Head, Axial view, 240x240
FLAIR magnetic resonance.
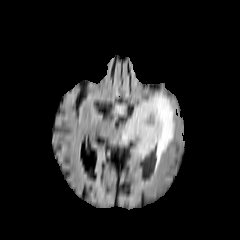
T1-weighted MR image.
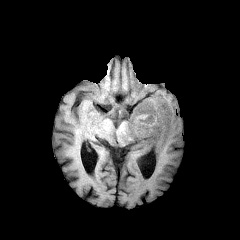
Post-contrast T1-weighted MR image.
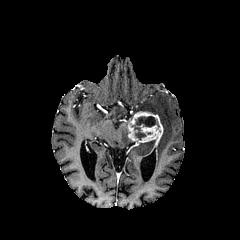
T2-weighted MR.
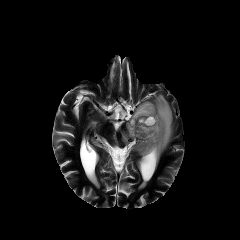
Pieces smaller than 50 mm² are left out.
peritumoral edema: bounding box bbox=[134, 93, 174, 164]; bbox=[134, 141, 154, 155]; bbox=[121, 119, 130, 143]
enhancing tumor: bounding box bbox=[127, 111, 163, 144]
necrotic tumor core: bounding box bbox=[132, 116, 159, 139]